FLAIR magnetic resonance.
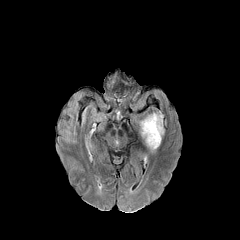
T1-weighted MR image.
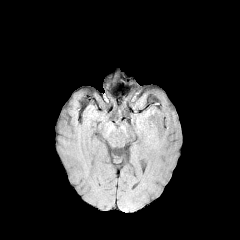
Post-contrast T1-weighted MR.
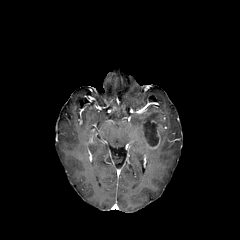
T2-weighted MR image.
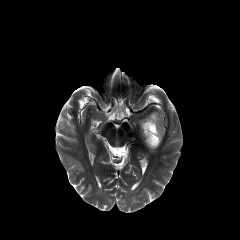
Axial slice
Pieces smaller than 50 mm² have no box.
peritumoral edema at [140, 112, 163, 143]
enhancing tumor at [141, 119, 163, 149]
necrotic tumor core at [143, 120, 158, 146]